Axial slice | Head
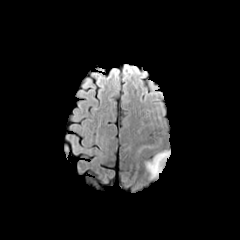
FLAIR MR.
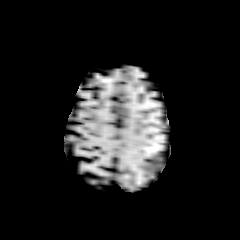
T1-weighted magnetic resonance.
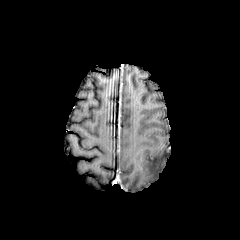
Same slice, post-contrast T1-weighted MRI.
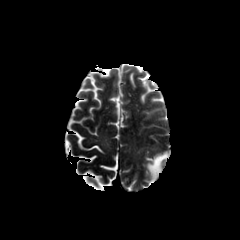
T2-weighted MR image.
peritumoral edema: (left=146, top=152, right=168, bottom=178)